Head. Axial slice.
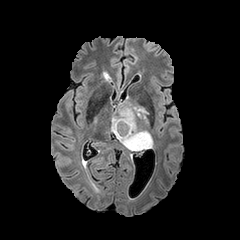
FLAIR MR.
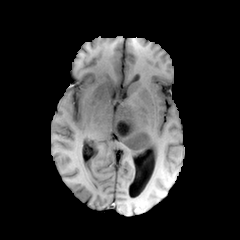
T1-weighted magnetic resonance of the same slice.
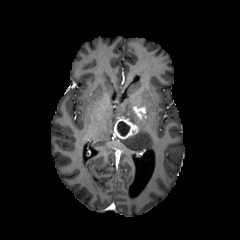
Post-contrast T1-weighted MRI.
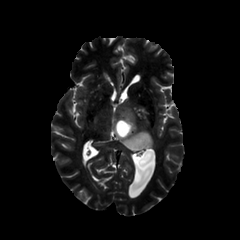
T2-weighted MR.
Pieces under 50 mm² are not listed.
enhancing tumor: region(115, 116, 137, 138); region(133, 107, 145, 118) | peritumoral edema: region(113, 100, 153, 150) | necrotic tumor core: region(118, 122, 130, 135)